Head; 240x240 px
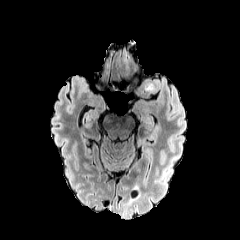
FLAIR magnetic resonance.
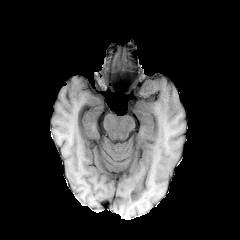
T1-weighted MRI.
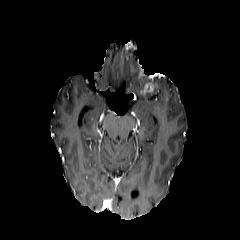
Post-contrast T1-weighted magnetic resonance.
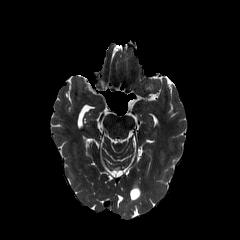
T2-weighted magnetic resonance.
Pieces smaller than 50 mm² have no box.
enhancing tumor: box(141, 83, 153, 94); box(125, 42, 135, 49)